Slice 71/155
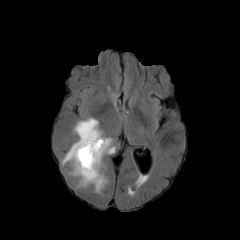
FLAIR MR.
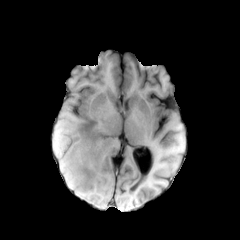
T1-weighted MR image of the same slice.
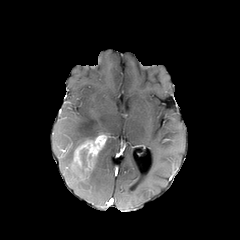
Post-contrast T1-weighted MRI.
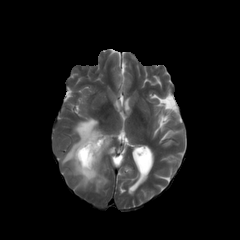
T2-weighted MR of the same slice.
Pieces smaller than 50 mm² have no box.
The necrotic tumor core is bounded by 81, 150, 86, 166. The enhancing tumor appears at 71, 134, 107, 181. The 2 largest peritumoral edema regions are bounded by 78, 137, 115, 192; 62, 117, 103, 165.